FLAIR magnetic resonance.
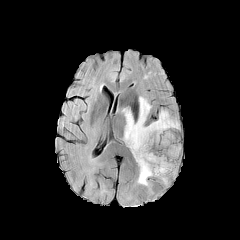
T1-weighted MRI.
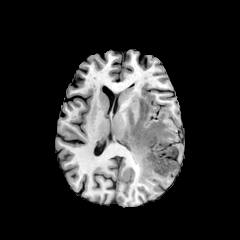
Post-contrast T1-weighted MRI.
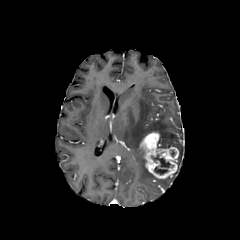
T2-weighted MR image.
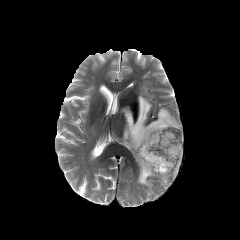
Axial plane
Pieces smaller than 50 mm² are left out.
{
  "necrotic_tumor_core": [
    "(x1=152, y1=155, x2=170, y2=174)"
  ],
  "peritumoral_edema": [
    "(x1=122, y1=96, x2=181, y2=192)"
  ],
  "enhancing_tumor": [
    "(x1=140, y1=132, x2=179, y2=178)"
  ]
}